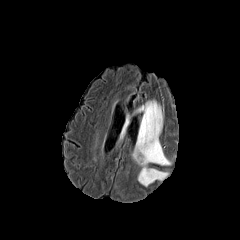
FLAIR MR image.
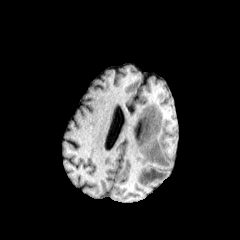
Same slice, T1-weighted MR.
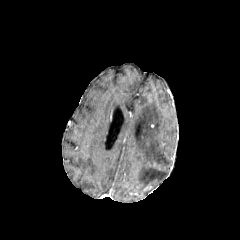
Post-contrast T1-weighted MR image.
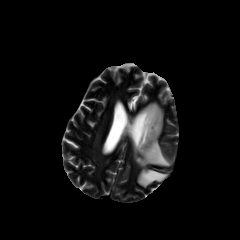
T2-weighted MR image of the same slice.
240x240 px. Brain.
peritumoral edema = {"x1": 133, "y1": 101, "x2": 170, "y2": 186}